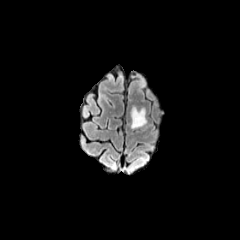
FLAIR magnetic resonance.
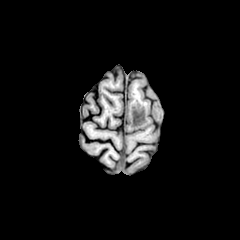
T1-weighted magnetic resonance.
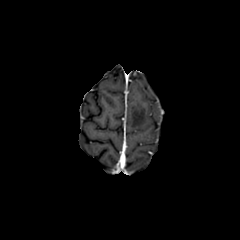
Post-contrast T1-weighted MRI of the same slice.
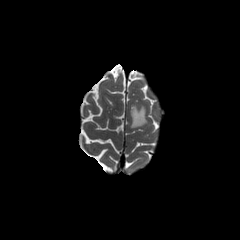
Same slice, T2-weighted MRI.
Axial slice.
The peritumoral edema is bounded by <bbox>130, 106, 146, 128</bbox>.